FLAIR magnetic resonance.
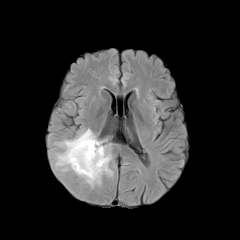
T1-weighted MRI.
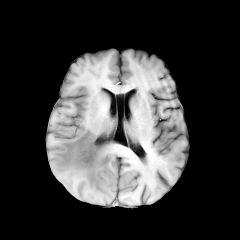
Post-contrast T1-weighted MR image.
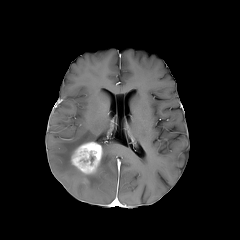
T2-weighted magnetic resonance.
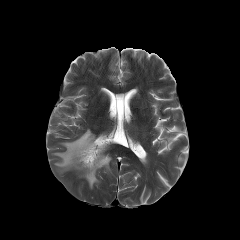
240x240; Axial plane
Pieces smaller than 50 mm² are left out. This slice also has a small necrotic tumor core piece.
peritumoral edema: (55,129,112,187) | enhancing tumor: (71,142,102,174)